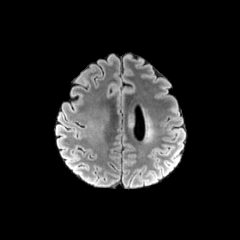
FLAIR MRI.
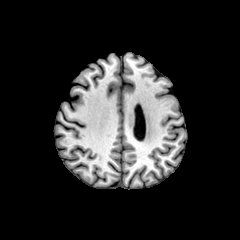
T1-weighted MRI of the same slice.
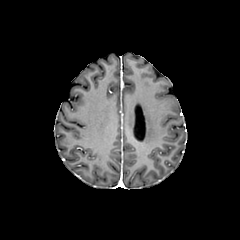
Same slice, post-contrast T1-weighted magnetic resonance.
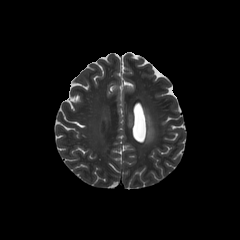
Same slice, T2-weighted magnetic resonance.
240x240. Head.
<segmentation>
  <peritumoral_edema>box(128, 114, 133, 128); box(145, 114, 155, 142)</peritumoral_edema>
</segmentation>